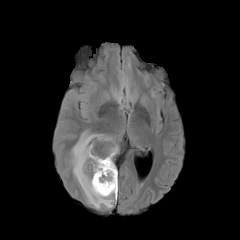
FLAIR magnetic resonance.
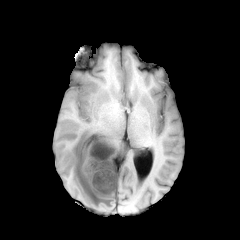
T1-weighted magnetic resonance of the same slice.
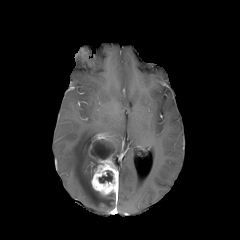
Post-contrast T1-weighted magnetic resonance.
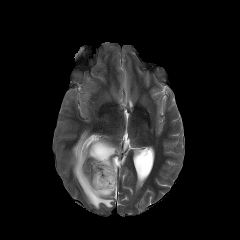
Same slice, T2-weighted MR image.
Head.
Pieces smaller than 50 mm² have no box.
The 2 largest necrotic tumor core regions appear at 92, 139, 113, 159; 99, 170, 112, 183. The 2 largest peritumoral edema regions are located at 107, 136, 118, 157; 70, 130, 116, 209. The 2 largest enhancing tumor regions are bounded by 89, 144, 118, 195; 92, 134, 110, 142.